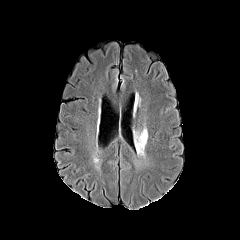
FLAIR MR image.
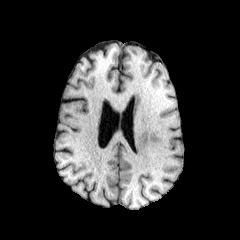
Same slice, T1-weighted MR image.
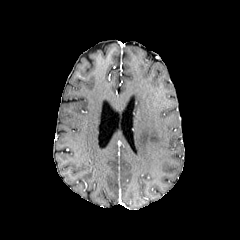
Post-contrast T1-weighted magnetic resonance.
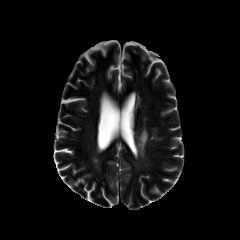
T2-weighted MR image.
peritumoral edema: bounding box l=135, t=128, r=147, b=155